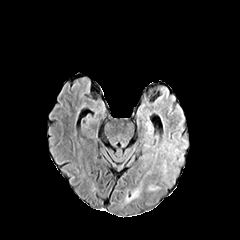
FLAIR MR image.
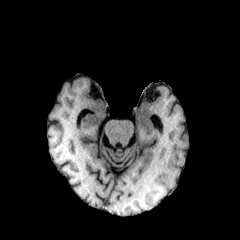
T1-weighted magnetic resonance.
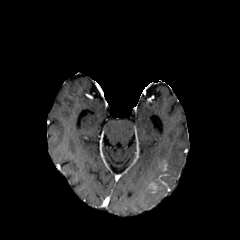
Post-contrast T1-weighted magnetic resonance.
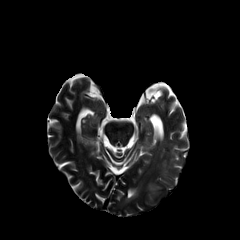
T2-weighted MR image of the same slice.
Axial view
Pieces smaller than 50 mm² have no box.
<segmentation>
  <enhancing_tumor>rect(148, 182, 161, 192)</enhancing_tumor>
</segmentation>